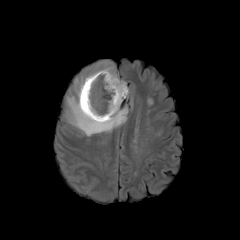
FLAIR MR.
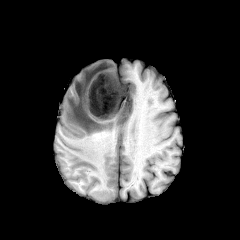
T1-weighted MR image.
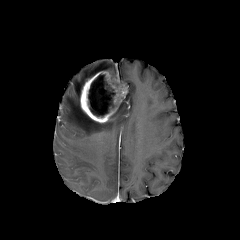
Post-contrast T1-weighted MR image of the same slice.
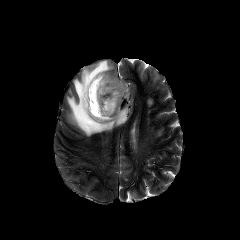
T2-weighted MR image.
Image size 240x240
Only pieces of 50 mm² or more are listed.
The largest peritumoral edema region is bounded by l=65, t=60, r=128, b=136. The enhancing tumor is bounded by l=80, t=70, r=128, b=122. The necrotic tumor core is at l=88, t=74, r=115, b=116.